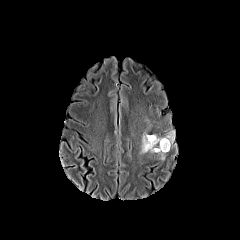
FLAIR MR.
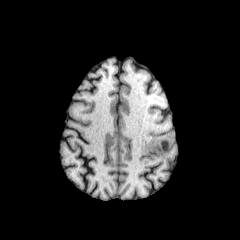
T1-weighted MRI of the same slice.
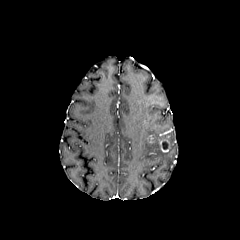
Post-contrast T1-weighted MRI.
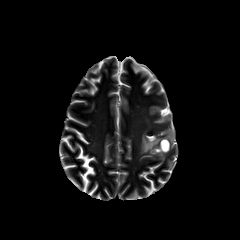
T2-weighted MR.
Head. Axial plane.
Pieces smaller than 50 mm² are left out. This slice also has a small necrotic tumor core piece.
The largest enhancing tumor region lies within bbox=[159, 139, 170, 152]. The peritumoral edema is at bbox=[141, 131, 174, 159].